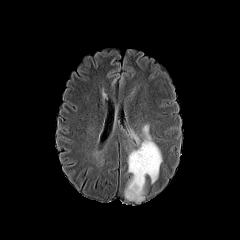
FLAIR MRI.
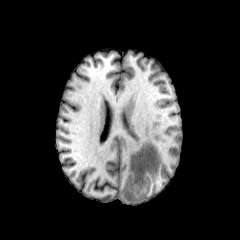
T1-weighted MR.
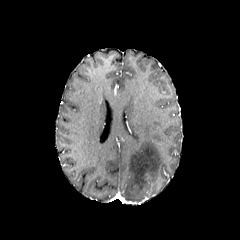
Post-contrast T1-weighted MR.
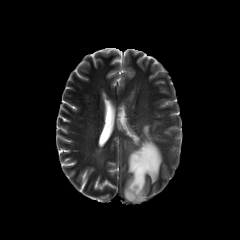
T2-weighted magnetic resonance.
Axial plane. Image size 240x240.
peritumoral_edema:
  - l=124, t=124, r=162, b=204
  - l=101, t=87, r=108, b=100